Head. Image size 240x240.
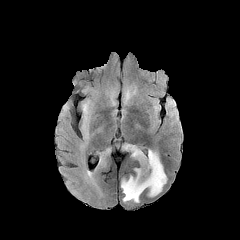
FLAIR MRI.
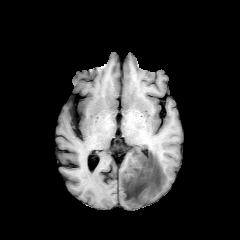
T1-weighted magnetic resonance of the same slice.
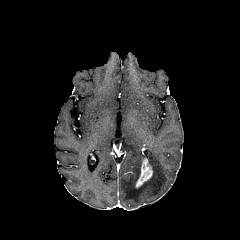
Post-contrast T1-weighted MR image.
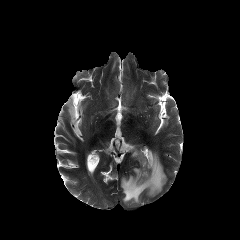
T2-weighted MR.
peritumoral edema = bbox(121, 144, 166, 202); bbox(83, 103, 88, 116)
enhancing tumor = bbox(135, 158, 152, 187)